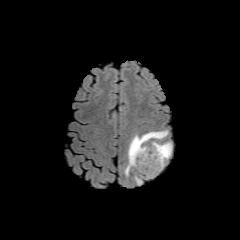
FLAIR MRI.
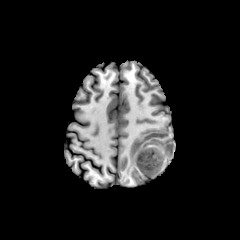
Same slice, T1-weighted MR.
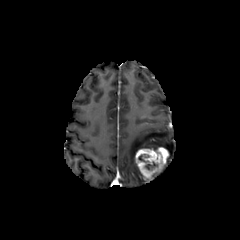
Post-contrast T1-weighted magnetic resonance.
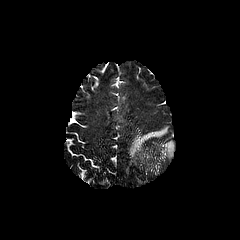
T2-weighted MR.
Head.
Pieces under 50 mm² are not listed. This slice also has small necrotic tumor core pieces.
{"peritumoral_edema": ["left=125, top=130, right=167, bottom=175", "left=152, top=142, right=172, bottom=159"], "enhancing_tumor": ["left=134, top=144, right=169, bottom=179"]}